FLAIR MRI.
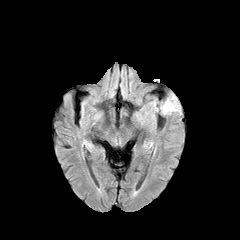
T1-weighted MR image.
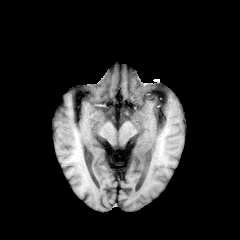
Post-contrast T1-weighted MR image.
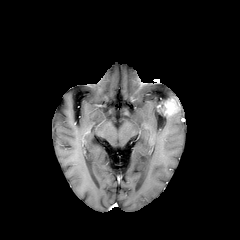
T2-weighted MR.
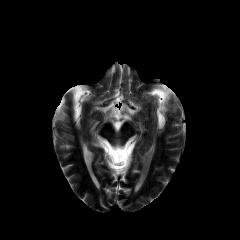
Brain
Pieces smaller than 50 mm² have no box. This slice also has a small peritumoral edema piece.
enhancing tumor = bbox(158, 99, 179, 114)